FLAIR MR image.
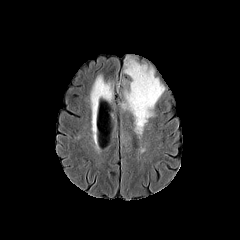
T1-weighted MRI.
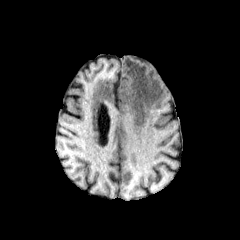
Post-contrast T1-weighted MR image.
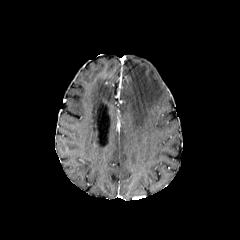
T2-weighted MR.
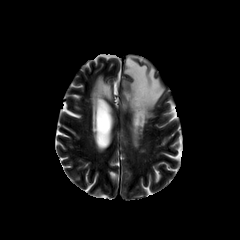
Head.
{"peritumoral_edema": ["bbox(90, 74, 112, 107)", "bbox(122, 58, 164, 134)"]}